Axial slice; 240x240 px; Brain
FLAIR magnetic resonance.
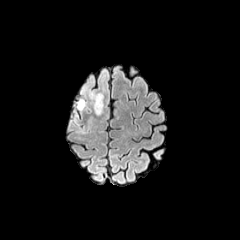
T1-weighted magnetic resonance.
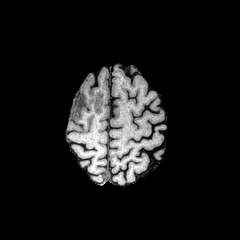
Post-contrast T1-weighted MR.
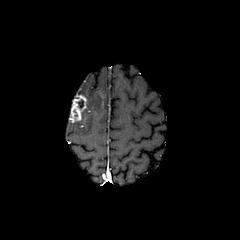
T2-weighted magnetic resonance.
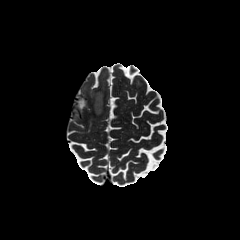
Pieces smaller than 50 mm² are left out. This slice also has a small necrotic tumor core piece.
<segmentation>
  <peritumoral_edema>(x1=91, y1=72, x2=107, y2=114)</peritumoral_edema>
  <enhancing_tumor>(x1=69, y1=95, x2=86, y2=122)</enhancing_tumor>
</segmentation>